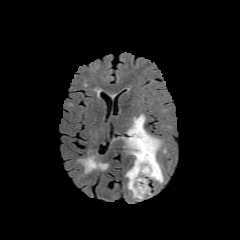
FLAIR MRI.
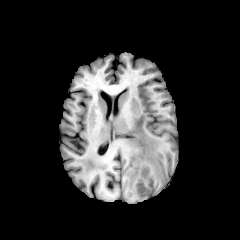
T1-weighted MR.
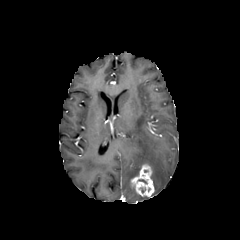
Post-contrast T1-weighted MR image.
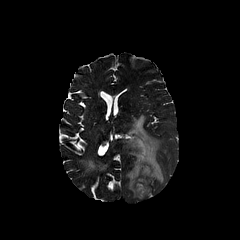
T2-weighted MRI of the same slice.
Axial plane, Head
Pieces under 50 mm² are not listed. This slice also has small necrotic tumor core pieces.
The enhancing tumor is at region(130, 164, 154, 197). The largest peritumoral edema region lies within region(125, 114, 163, 199).